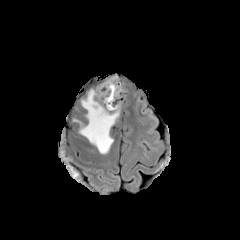
FLAIR MRI.
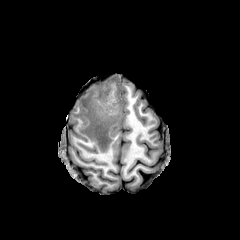
T1-weighted MR image of the same slice.
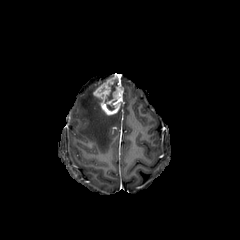
Same slice, post-contrast T1-weighted MR.
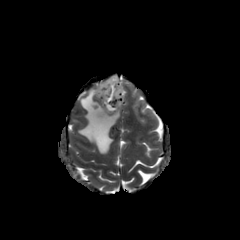
T2-weighted MR.
Image size 240x240 | Axial plane
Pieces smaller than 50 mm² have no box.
peritumoral_edema:
  - 79:88:119:154
necrotic_tumor_core:
  - 105:79:117:102
enhancing_tumor:
  - 93:75:123:115